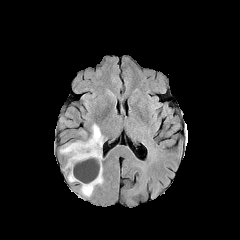
FLAIR magnetic resonance.
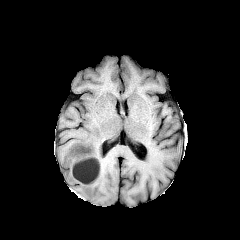
T1-weighted MR image.
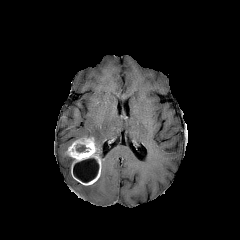
Post-contrast T1-weighted MRI.
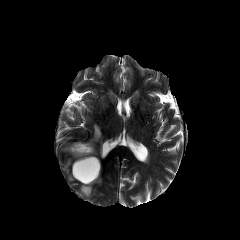
Same slice, T2-weighted MR image.
Axial plane
2 necrotic tumor core regions are located at box=[73, 158, 99, 182]; box=[76, 145, 86, 152]. 5 peritumoral edema regions are located at box=[60, 143, 71, 154]; box=[92, 124, 103, 161]; box=[80, 168, 103, 197]; box=[67, 171, 75, 182]; box=[63, 157, 73, 170]. The enhancing tumor lies within box=[66, 137, 101, 185].